Slice 85/155, 240x240
FLAIR MR image.
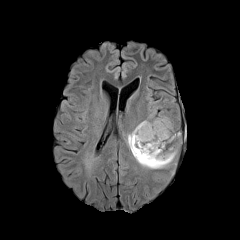
T1-weighted magnetic resonance.
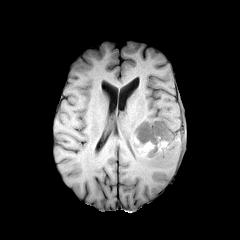
Post-contrast T1-weighted MR image.
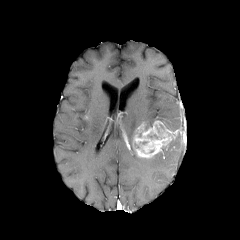
T2-weighted MRI.
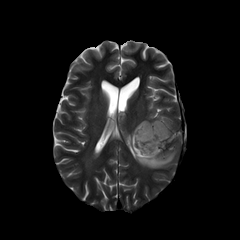
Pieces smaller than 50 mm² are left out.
peritumoral edema at (left=127, top=122, right=176, bottom=168), (left=157, top=116, right=171, bottom=128)
enhancing tumor at (left=133, top=120, right=175, bottom=158)
necrotic tumor core at (left=134, top=141, right=148, bottom=152)